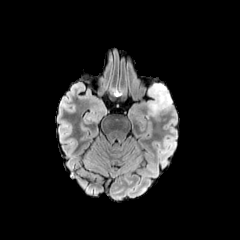
FLAIR MR image.
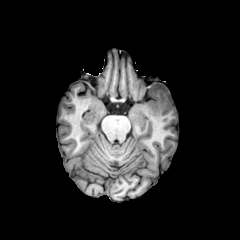
T1-weighted MR of the same slice.
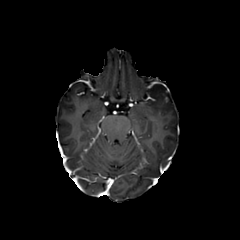
Same slice, post-contrast T1-weighted MR.
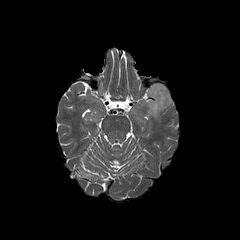
T2-weighted MRI.
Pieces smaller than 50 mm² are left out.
enhancing tumor = (160,92,170,105)
peritumoral edema = (146,83,172,117)